240x240 | Axial view | Brain | Image width 240 mm, 1.00 mm slice spacing
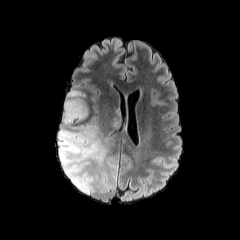
FLAIR magnetic resonance.
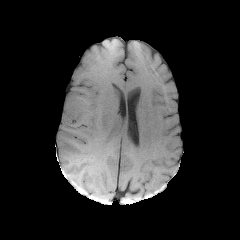
T1-weighted MRI.
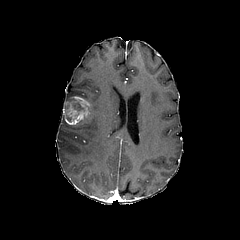
Same slice, post-contrast T1-weighted magnetic resonance.
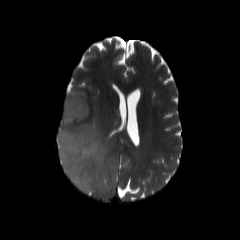
T2-weighted MR.
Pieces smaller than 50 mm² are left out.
peritumoral edema = <bbox>58, 115, 116, 193</bbox>, <bbox>64, 90, 85, 109</bbox>, <bbox>112, 119, 120, 129</bbox>
necrotic tumor core = <bbox>72, 102, 84, 110</bbox>
enhancing tumor = <bbox>64, 96, 89, 124</bbox>